FLAIR magnetic resonance.
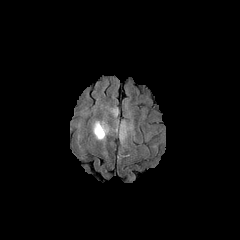
T1-weighted MRI.
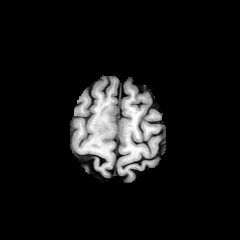
Post-contrast T1-weighted MR image.
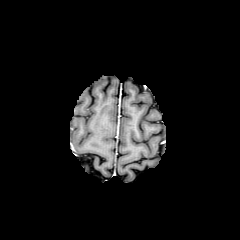
T2-weighted MRI.
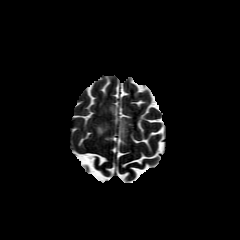
Axial slice
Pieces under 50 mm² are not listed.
Segmented structures:
• peritumoral edema: l=94, t=122, r=107, b=139; l=120, t=121, r=127, b=140